Axial plane; Brain
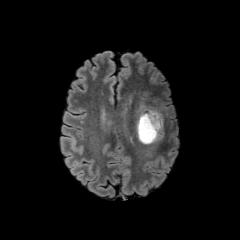
FLAIR MR image.
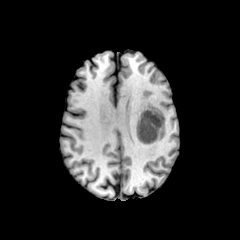
Same slice, T1-weighted MR image.
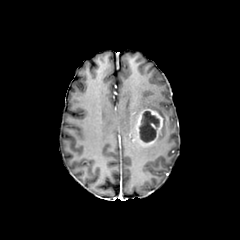
Same slice, post-contrast T1-weighted magnetic resonance.
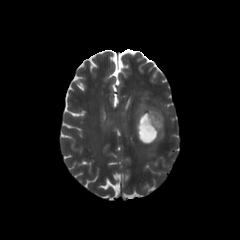
T2-weighted MR.
enhancing tumor: bounding box [x1=136, y1=109, x2=162, y2=144]
necrotic tumor core: bounding box [x1=139, y1=111, x2=159, y2=142]
peritumoral edema: bounding box [x1=137, y1=94, x2=163, y2=141]